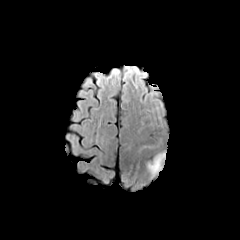
FLAIR MR.
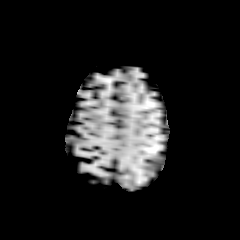
Same slice, T1-weighted MRI.
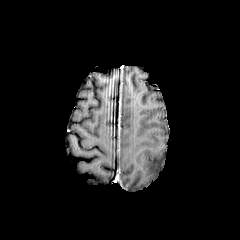
Post-contrast T1-weighted MR.
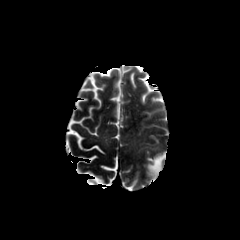
T2-weighted MR.
Axial view.
peritumoral edema: bounding box 147,153,165,177